Head. 240x240.
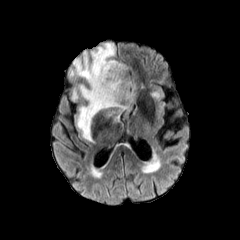
FLAIR MR.
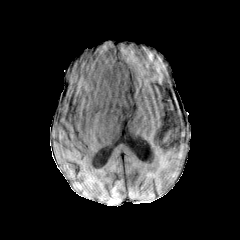
Same slice, T1-weighted MR image.
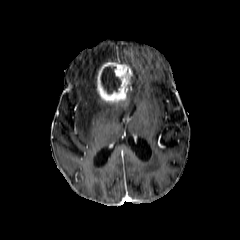
Post-contrast T1-weighted magnetic resonance.
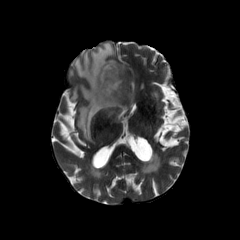
T2-weighted MR image.
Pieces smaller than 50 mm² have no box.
Findings:
- peritumoral edema: {"x1": 69, "y1": 42, "x2": 116, "y2": 140}, {"x1": 129, "y1": 78, "x2": 134, "y2": 104}
- necrotic tumor core: {"x1": 101, "y1": 67, "x2": 120, "y2": 93}
- enhancing tumor: {"x1": 95, "y1": 61, "x2": 132, "y2": 108}